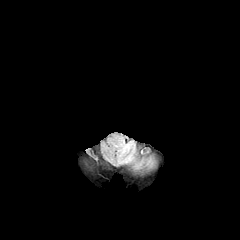
FLAIR MR.
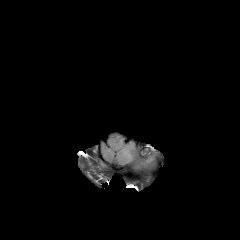
T1-weighted MR of the same slice.
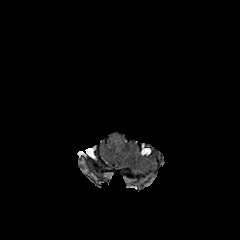
Post-contrast T1-weighted MR.
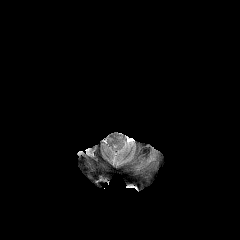
T2-weighted magnetic resonance of the same slice.
peritumoral edema at (x1=115, y1=141, x2=135, y2=163)